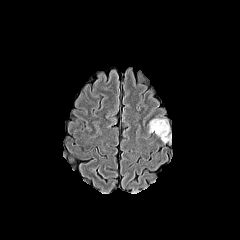
FLAIR MR image.
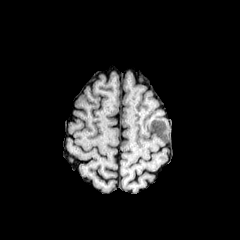
Same slice, T1-weighted MRI.
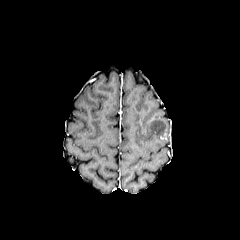
Post-contrast T1-weighted magnetic resonance of the same slice.
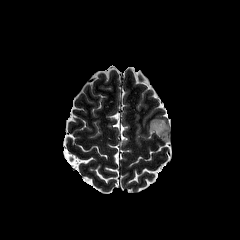
T2-weighted MR.
Head | 240x240 | Axial plane
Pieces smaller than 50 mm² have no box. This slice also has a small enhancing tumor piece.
peritumoral edema: 149 119 169 136